Head | 240x240 px
FLAIR MR.
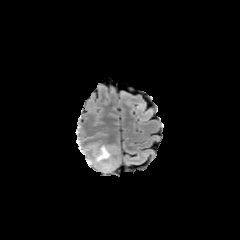
T1-weighted MRI.
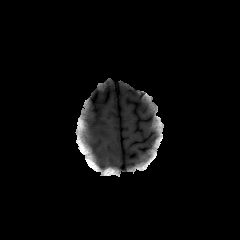
Post-contrast T1-weighted MR.
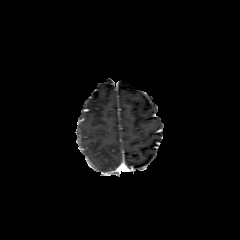
T2-weighted MR image.
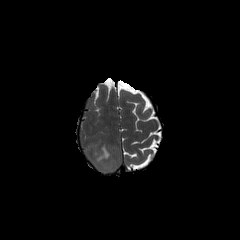
peritumoral edema: rect(102, 164, 114, 172); rect(89, 145, 110, 168)